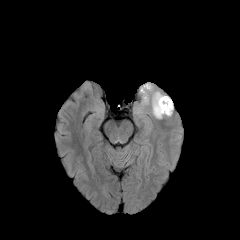
FLAIR magnetic resonance.
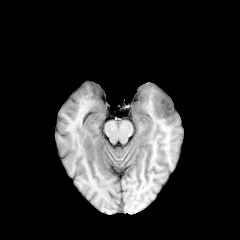
Same slice, T1-weighted MR image.
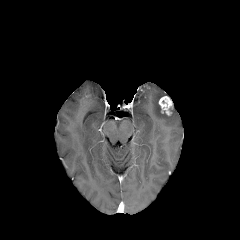
Same slice, post-contrast T1-weighted MRI.
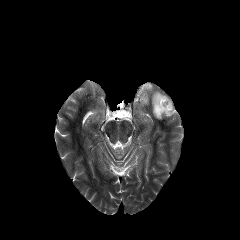
Same slice, T2-weighted MR.
Brain, 240x240 px
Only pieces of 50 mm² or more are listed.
{"enhancing_tumor": ["rect(158, 96, 173, 115)"], "peritumoral_edema": ["rect(134, 82, 171, 123)"]}